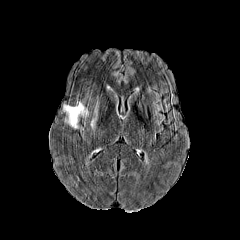
FLAIR MR.
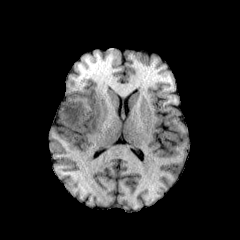
Same slice, T1-weighted magnetic resonance.
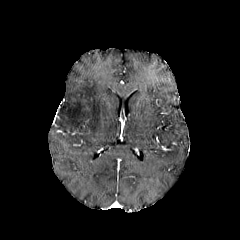
Same slice, post-contrast T1-weighted MRI.
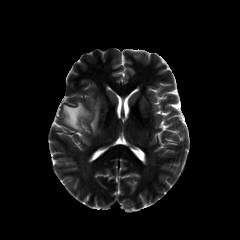
T2-weighted magnetic resonance of the same slice.
peritumoral_edema:
  - x1=63 y1=102 x2=88 y2=128
  - x1=90 y1=103 x2=97 y2=129